Axial slice. Slice index 53.
FLAIR MR image.
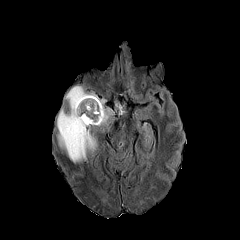
T1-weighted magnetic resonance.
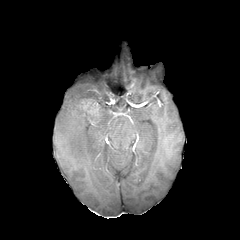
Post-contrast T1-weighted MR.
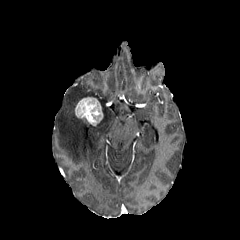
T2-weighted MR.
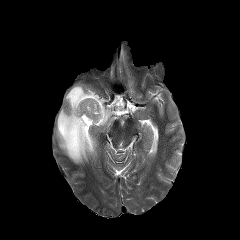
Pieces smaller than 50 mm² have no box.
The enhancing tumor lies within [75, 97, 103, 125]. The largest peritumoral edema region is bounded by [57, 85, 113, 162].